Image size 240x240.
FLAIR MR.
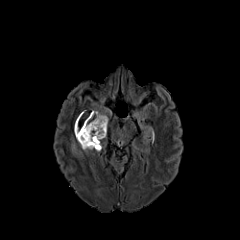
T1-weighted magnetic resonance.
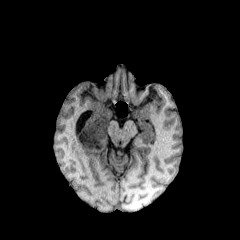
Post-contrast T1-weighted MR.
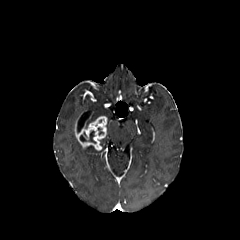
T2-weighted MRI.
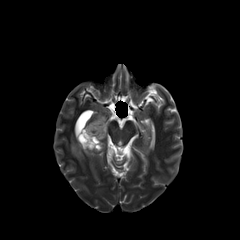
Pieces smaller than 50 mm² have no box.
necrotic tumor core = 89:130:96:143
peritumoral edema = 71:139:82:156, 78:142:94:153, 85:111:105:127
enhancing tumor = 75:116:107:150